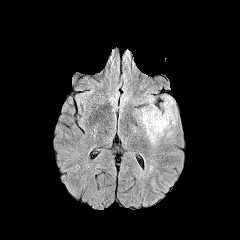
FLAIR MRI.
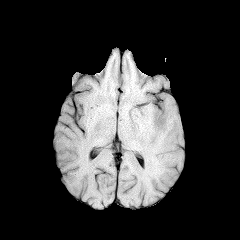
T1-weighted MR image.
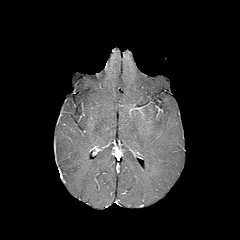
Post-contrast T1-weighted MR image.
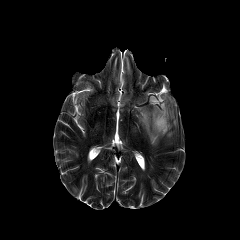
Same slice, T2-weighted magnetic resonance.
The peritumoral edema is located at bbox(138, 96, 176, 144).